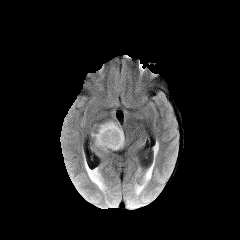
FLAIR MR image.
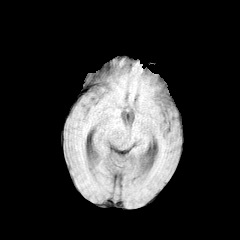
Same slice, T1-weighted MRI.
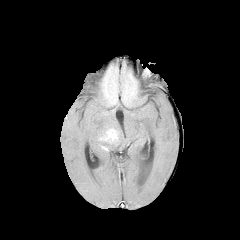
Post-contrast T1-weighted MR.
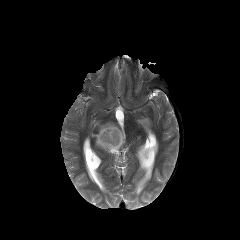
T2-weighted magnetic resonance of the same slice.
Axial slice, Head
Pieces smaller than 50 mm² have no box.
enhancing tumor: (99, 129, 118, 143) | peritumoral edema: (92, 121, 124, 151)